FLAIR magnetic resonance.
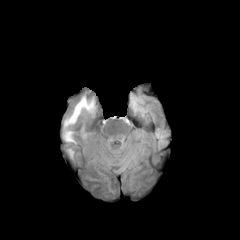
T1-weighted MRI.
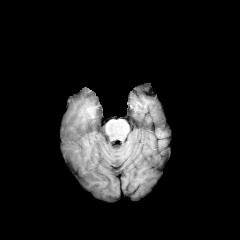
Post-contrast T1-weighted MR image.
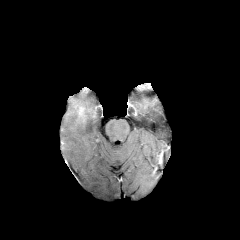
T2-weighted MRI.
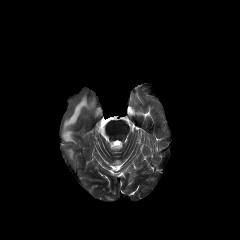
240x240; Axial view
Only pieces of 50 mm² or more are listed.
Annotated regions:
- peritumoral edema: bbox=[63, 95, 95, 143]